FLAIR MR image.
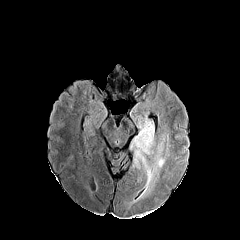
T1-weighted MR image.
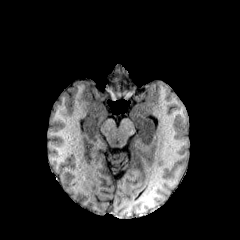
Post-contrast T1-weighted MR.
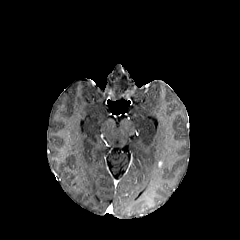
T2-weighted MRI.
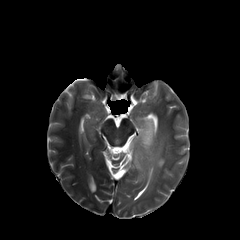
Axial plane
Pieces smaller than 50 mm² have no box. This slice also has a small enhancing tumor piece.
* peritumoral edema: x1=131 y1=119 x2=165 y2=197